FLAIR magnetic resonance.
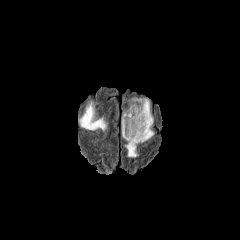
T1-weighted MR.
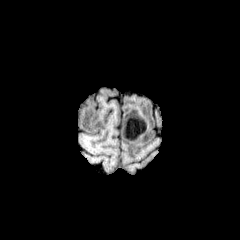
Post-contrast T1-weighted MRI.
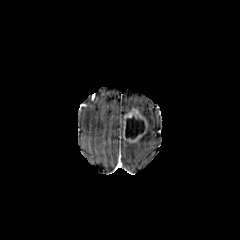
T2-weighted MR.
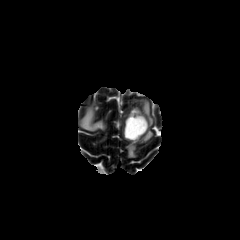
Axial view, Image size 240x240
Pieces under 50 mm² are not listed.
The enhancing tumor is bounded by box(122, 108, 148, 143). The 2 largest peritumoral edema regions are bounded by box(80, 105, 106, 130); box(125, 99, 153, 157). The necrotic tumor core is bounded by box(125, 117, 144, 138).